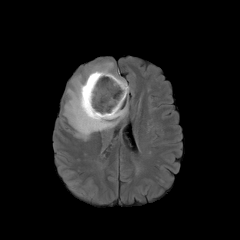
FLAIR MR.
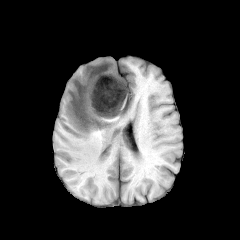
Same slice, T1-weighted magnetic resonance.
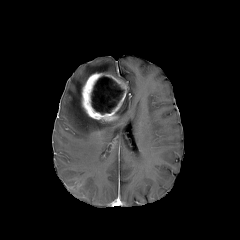
Post-contrast T1-weighted MR.
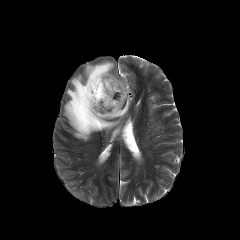
T2-weighted magnetic resonance of the same slice.
Axial view.
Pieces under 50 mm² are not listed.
peritumoral edema at (63, 60, 128, 140)
necrotic tumor core at (91, 76, 124, 114)
enhancing tumor at (81, 72, 128, 121)